240x240 px | Slice 42 of 155 | Head
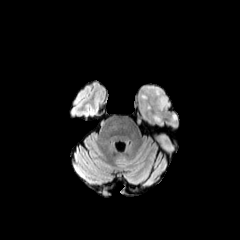
FLAIR MR image.
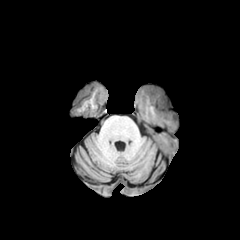
Same slice, T1-weighted MR image.
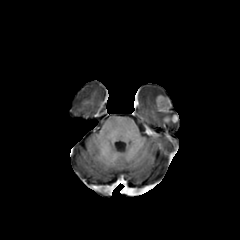
Post-contrast T1-weighted MR image.
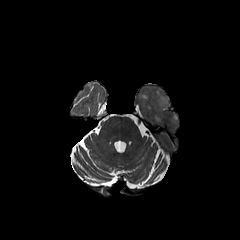
Same slice, T2-weighted magnetic resonance.
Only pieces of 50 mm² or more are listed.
Segmented structures:
• peritumoral edema: bbox=[154, 115, 163, 123]
• enhancing tumor: bbox=[156, 95, 170, 113]; bbox=[164, 115, 177, 122]